240x240 | Axial slice | Image width 240 mm, 1.00 mm slice spacing | Head
FLAIR MRI.
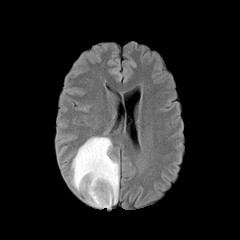
T1-weighted MRI.
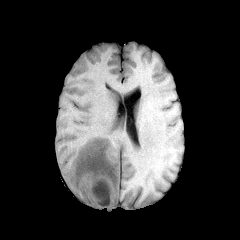
Post-contrast T1-weighted magnetic resonance.
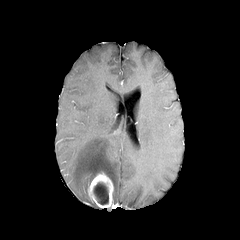
T2-weighted MR.
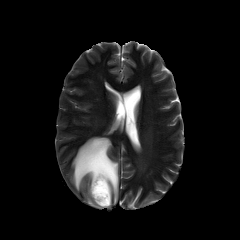
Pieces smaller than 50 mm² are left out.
necrotic tumor core: (93, 182, 108, 204)
enhancing tumor: (87, 172, 113, 208)
peritumoral edema: (71, 137, 119, 207)